Axial view. Slice 85 of 155.
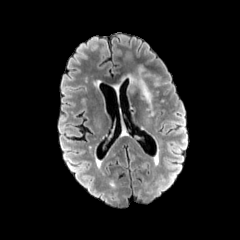
FLAIR MR image.
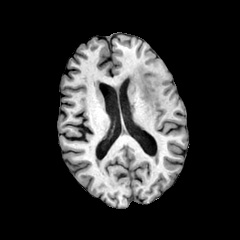
Same slice, T1-weighted MRI.
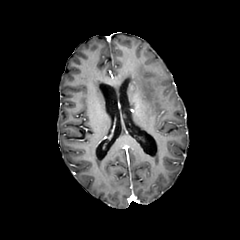
Post-contrast T1-weighted MR image.
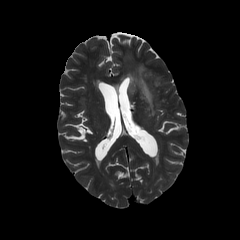
T2-weighted MR image of the same slice.
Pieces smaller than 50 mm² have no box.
{"peritumoral_edema": ["l=128, t=66, r=154, b=115"]}